Brain. Axial slice. Slice 131 of 155.
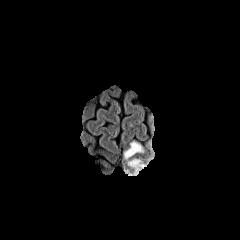
FLAIR magnetic resonance.
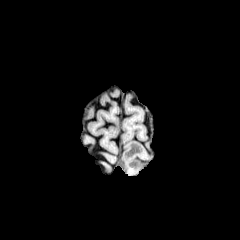
T1-weighted MR image.
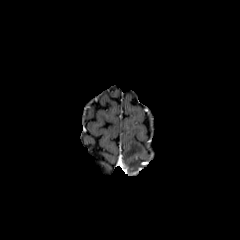
Post-contrast T1-weighted MR of the same slice.
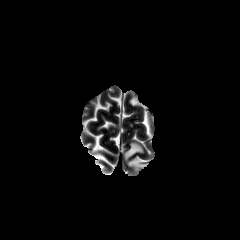
Same slice, T2-weighted magnetic resonance.
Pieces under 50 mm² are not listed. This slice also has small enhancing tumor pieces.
peritumoral edema: 124:141:144:171